FLAIR MR.
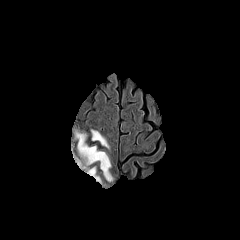
T1-weighted magnetic resonance.
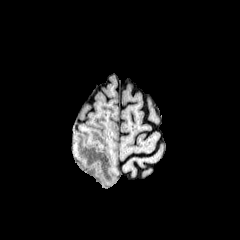
Post-contrast T1-weighted MRI.
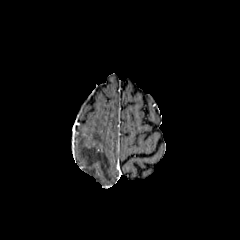
T2-weighted MR image.
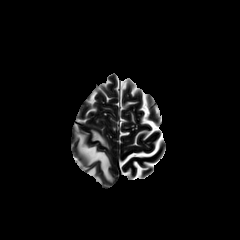
Axial plane; Image size 240x240
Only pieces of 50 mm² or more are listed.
The 3 largest peritumoral edema regions are located at bbox(76, 133, 112, 181); bbox(91, 130, 109, 148); bbox(87, 167, 101, 183).